FLAIR MR.
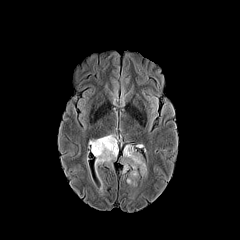
T1-weighted MR.
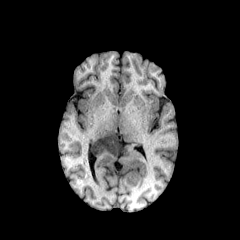
Post-contrast T1-weighted magnetic resonance.
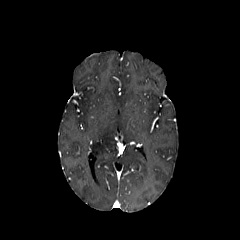
T2-weighted MR.
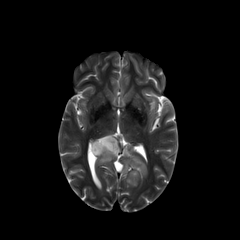
Axial slice, Head
3 peritumoral edema regions are located at region(91, 134, 117, 166); region(127, 171, 138, 185); region(122, 145, 147, 175).